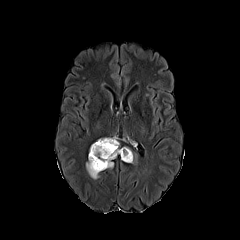
FLAIR MR image.
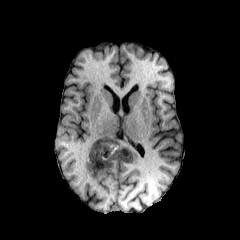
T1-weighted magnetic resonance.
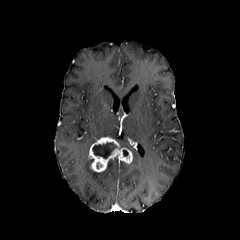
Post-contrast T1-weighted MR image.
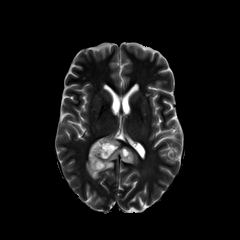
T2-weighted MR.
Image size 240x240, Axial view
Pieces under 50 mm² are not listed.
peritumoral edema: bounding box x1=86, y1=158, x2=99, y2=179
necrotic tumor core: bounding box x1=92, y1=142, x2=117, y2=158
enhancing tumor: bounding box x1=88, y1=137, x2=132, y2=172